Axial plane. 240x240 px.
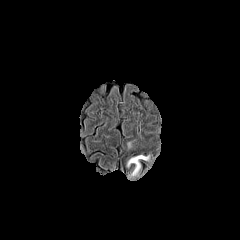
FLAIR MRI.
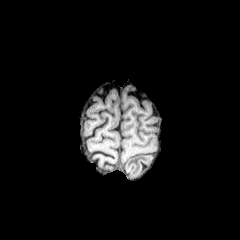
T1-weighted MR image of the same slice.
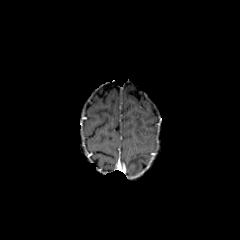
Post-contrast T1-weighted magnetic resonance.
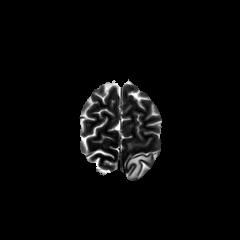
T2-weighted MR.
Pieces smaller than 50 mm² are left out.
peritumoral edema = (x1=126, y1=154, x2=151, y2=176)